Slice 56/155. Head.
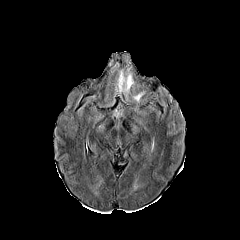
FLAIR MRI.
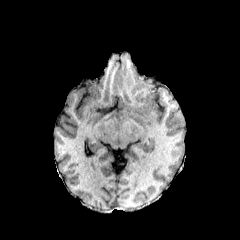
T1-weighted MR image.
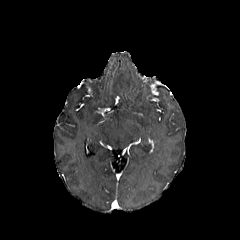
Post-contrast T1-weighted magnetic resonance of the same slice.
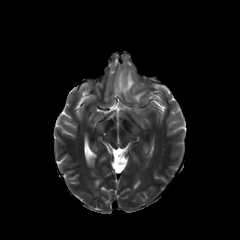
T2-weighted MRI of the same slice.
peritumoral_edema:
  - box(132, 93, 143, 102)
  - box(117, 70, 133, 92)